FLAIR MR image.
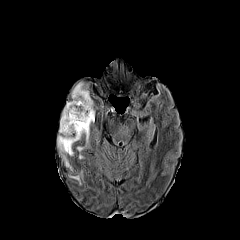
T1-weighted magnetic resonance.
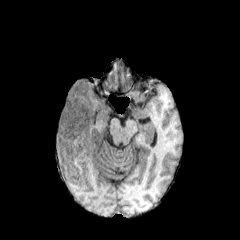
Post-contrast T1-weighted magnetic resonance.
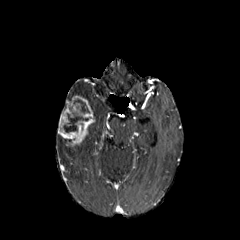
T2-weighted MR.
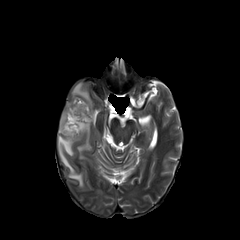
Head; Axial view
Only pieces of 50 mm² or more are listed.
The enhancing tumor appears at <box>58,95,94,146</box>. The 4 largest peritumoral edema regions are located at <box>58,134,73,172</box>, <box>70,172,82,185</box>, <box>77,127,89,151</box>, <box>71,82,94,116</box>. The 2 largest necrotic tumor core regions appear at <box>74,99,89,112</box>, <box>63,113,88,132</box>.